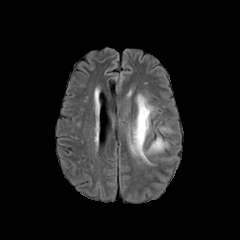
FLAIR MRI.
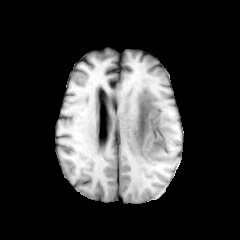
T1-weighted MR image.
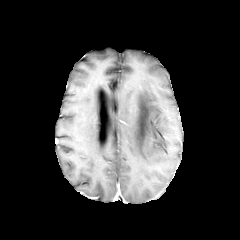
Same slice, post-contrast T1-weighted MR image.
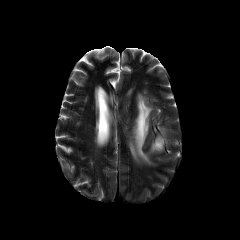
T2-weighted MR image.
Axial slice, Head, Image size 240x240
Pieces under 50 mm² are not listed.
Annotated regions:
- peritumoral edema: 129:94:167:163